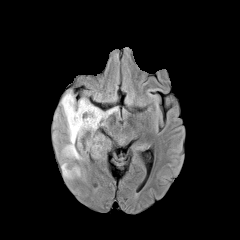
FLAIR MR.
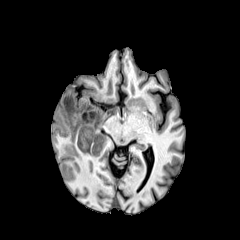
T1-weighted MR image.
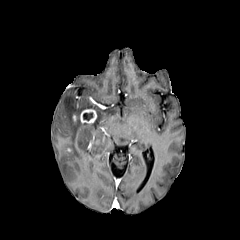
Post-contrast T1-weighted MRI.
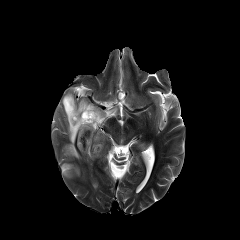
T2-weighted MRI.
240x240, Head
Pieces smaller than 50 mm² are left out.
The largest enhancing tumor region is at [80,109,96,123]. The necrotic tumor core appears at [83,113,92,120]. The 3 largest peritumoral edema regions are bounded by [91,136,102,156], [60,90,117,159], [61,162,80,178].